FLAIR MR.
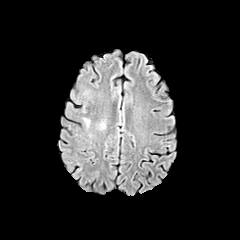
T1-weighted MR.
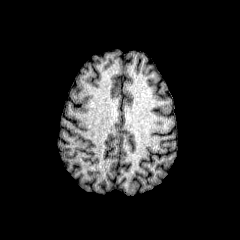
Post-contrast T1-weighted MR image.
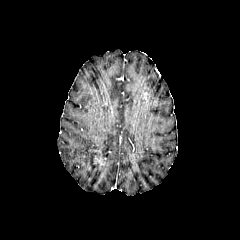
T2-weighted magnetic resonance.
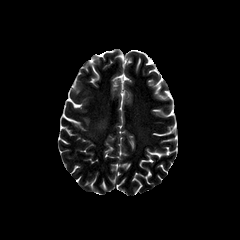
240x240 px. Axial slice.
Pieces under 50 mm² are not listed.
Segmented structures:
- peritumoral edema: [x1=97, y1=120, x2=105, y2=129]